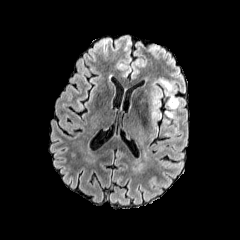
FLAIR magnetic resonance.
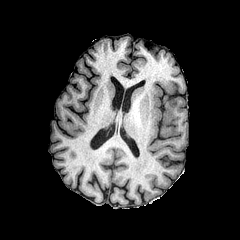
Same slice, T1-weighted MR.
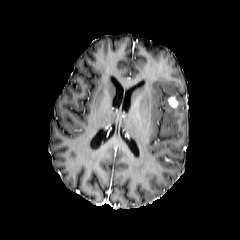
Post-contrast T1-weighted magnetic resonance.
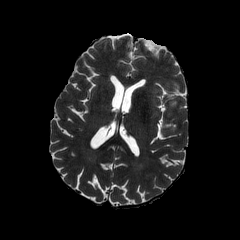
T2-weighted MR of the same slice.
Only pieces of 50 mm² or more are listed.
The enhancing tumor is at <bbox>168, 96, 178, 108</bbox>. The largest peritumoral edema region is at <bbox>162, 80, 171, 90</bbox>.